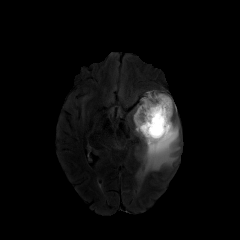
FLAIR magnetic resonance.
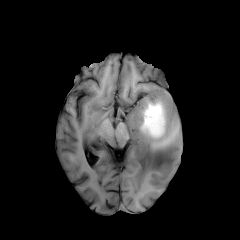
T1-weighted MR image of the same slice.
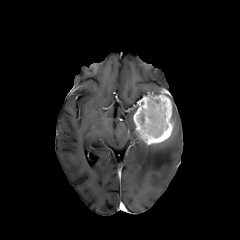
Post-contrast T1-weighted MRI of the same slice.
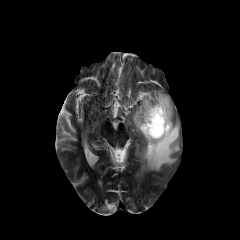
T2-weighted MR.
240x240. Head.
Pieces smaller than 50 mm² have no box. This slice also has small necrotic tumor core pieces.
enhancing_tumor:
  - rect(133, 90, 173, 144)
peritumoral_edema:
  - rect(143, 90, 160, 95)
  - rect(140, 92, 180, 175)
  - rect(132, 104, 138, 135)